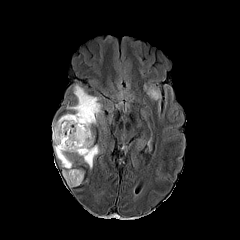
FLAIR MR.
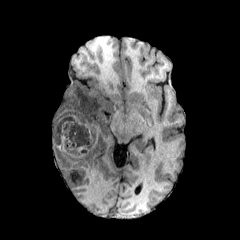
Same slice, T1-weighted magnetic resonance.
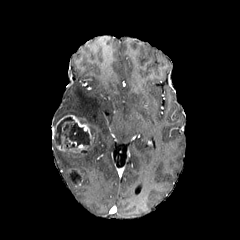
Same slice, post-contrast T1-weighted MRI.
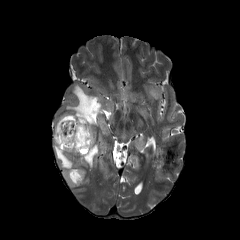
T2-weighted magnetic resonance of the same slice.
Head. Axial view.
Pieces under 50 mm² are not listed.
The 4 largest peritumoral edema regions are located at bbox(77, 145, 99, 168); bbox(53, 139, 84, 187); bbox(145, 86, 161, 100); bbox(67, 84, 102, 130). The 2 largest necrotic tumor core regions are bounded by bbox(72, 170, 81, 183); bbox(54, 117, 91, 150). The 2 largest enhancing tumor regions are bounded by bbox(68, 144, 88, 152); bbox(52, 115, 91, 139).